FLAIR MRI.
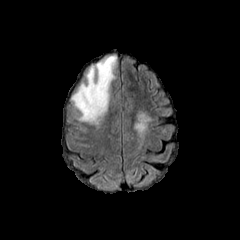
T1-weighted MRI.
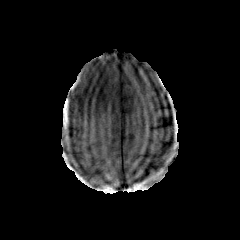
Post-contrast T1-weighted magnetic resonance.
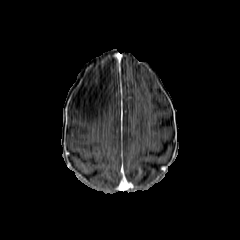
T2-weighted MR.
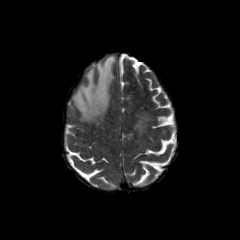
peritumoral edema — (x1=71, y1=55, x2=116, y2=124)